Brain; Image covers 240 mm x 240 mm; 240x240
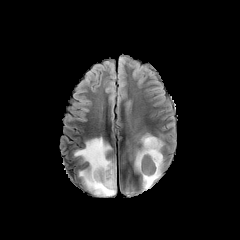
FLAIR MRI.
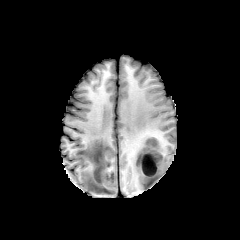
Same slice, T1-weighted MR image.
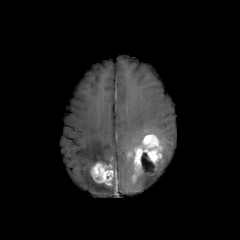
Post-contrast T1-weighted magnetic resonance of the same slice.
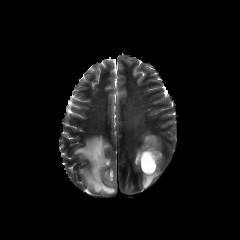
T2-weighted MR of the same slice.
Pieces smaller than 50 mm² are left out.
The 2 largest enhancing tumor regions are located at 90:162:114:185, 134:134:162:175. The necrotic tumor core appears at 141:153:155:172. The 2 largest peritumoral edema regions appear at 74:137:116:196, 137:156:164:190.